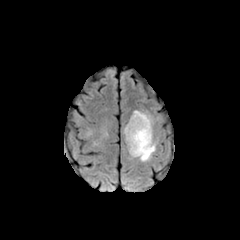
FLAIR MR image.
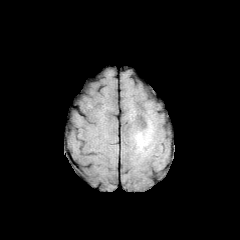
T1-weighted magnetic resonance.
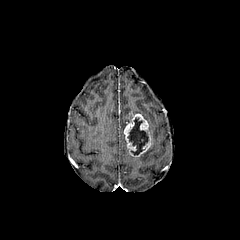
Post-contrast T1-weighted MR.
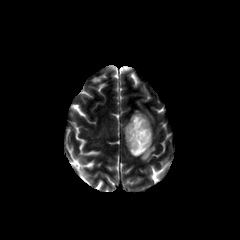
Same slice, T2-weighted magnetic resonance.
Axial view.
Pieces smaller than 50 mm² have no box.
necrotic tumor core = x1=128 y1=118 x2=148 y2=155
enhancing tumor = x1=124 y1=113 x2=151 y2=156
peritumoral edema = x1=132 y1=110 x2=155 y2=161